Image width 240 mm; Image size 240x240; Axial view
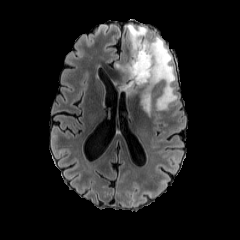
FLAIR MR.
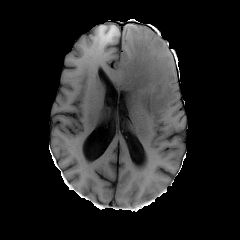
T1-weighted magnetic resonance.
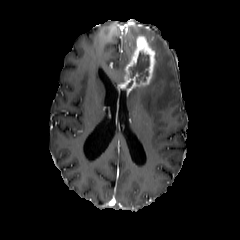
Same slice, post-contrast T1-weighted MR image.
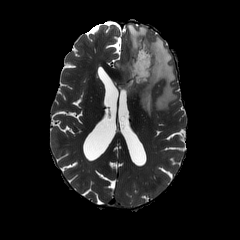
T2-weighted MR image.
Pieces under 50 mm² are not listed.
peritumoral_edema:
  - 115, 60, 128, 74
  - 126, 24, 177, 117
enhancing_tumor:
  - 122, 34, 157, 95
necrotic_tumor_core:
  - 130, 52, 149, 83